Brain
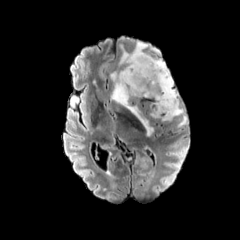
FLAIR magnetic resonance.
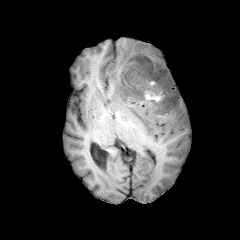
T1-weighted MRI of the same slice.
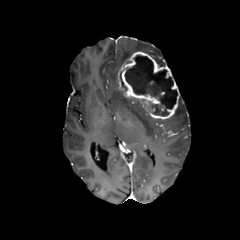
Post-contrast T1-weighted MR.
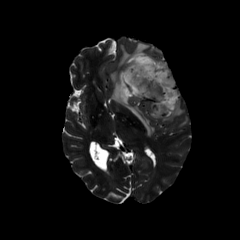
T2-weighted MRI of the same slice.
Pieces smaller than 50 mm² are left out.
The largest necrotic tumor core region is at rect(124, 55, 177, 116). The 3 largest peritumoral edema regions are bounded by rect(110, 70, 153, 135); rect(118, 41, 166, 68); rect(161, 98, 187, 127). The largest enhancing tumor region lies within rect(118, 51, 179, 119).